Axial plane; Image size 240x240; Image covers 240 mm x 240 mm
FLAIR magnetic resonance.
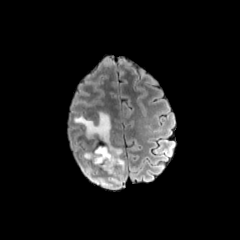
T1-weighted MRI.
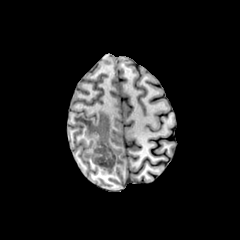
Post-contrast T1-weighted magnetic resonance.
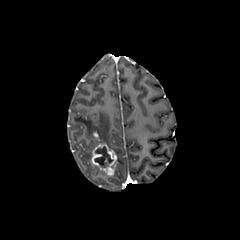
T2-weighted MRI.
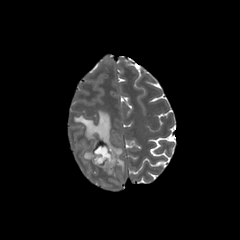
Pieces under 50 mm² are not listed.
The 2 largest peritumoral edema regions are bounded by 74, 111, 124, 173; 110, 168, 120, 183. The largest enhancing tumor region is bounded by 91, 132, 117, 175. The necrotic tumor core is at 94, 146, 112, 167.